Slice 67/155 | Axial slice | Image size 240x240
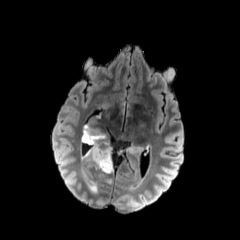
FLAIR magnetic resonance.
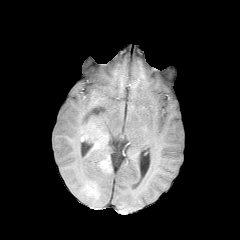
T1-weighted MR.
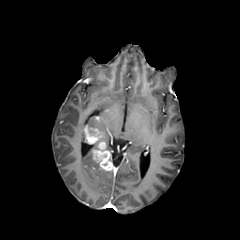
Same slice, post-contrast T1-weighted MRI.
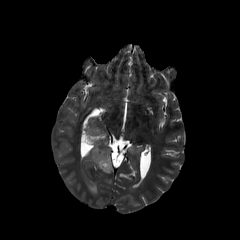
T2-weighted MR.
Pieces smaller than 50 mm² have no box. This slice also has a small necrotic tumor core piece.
enhancing tumor = region(83, 126, 103, 144); region(91, 142, 113, 171)
peritumoral edema = region(82, 170, 98, 194); region(92, 128, 112, 151)